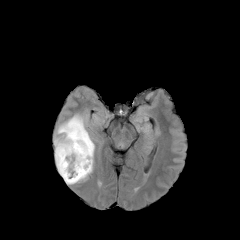
FLAIR MR image.
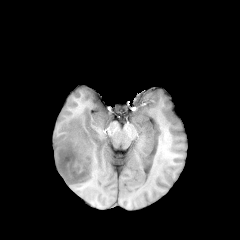
Same slice, T1-weighted magnetic resonance.
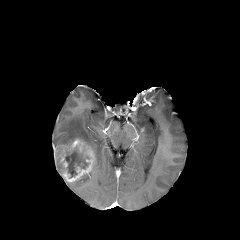
Post-contrast T1-weighted MR image.
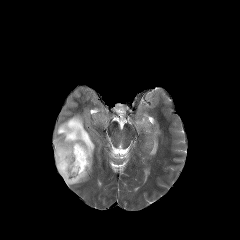
T2-weighted MRI of the same slice.
Brain
{"necrotic_tumor_core": ["bbox=[65, 147, 89, 177]"], "enhancing_tumor": ["bbox=[59, 139, 93, 182]"], "peritumoral_edema": ["bbox=[54, 114, 94, 174]", "bbox=[67, 163, 93, 184]"]}